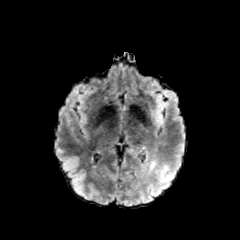
FLAIR MR image.
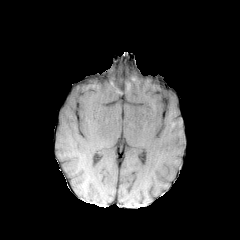
T1-weighted magnetic resonance of the same slice.
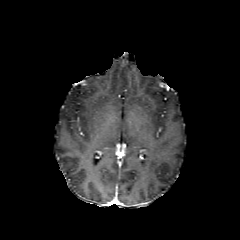
Post-contrast T1-weighted MR image.
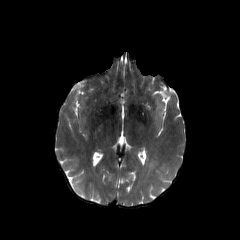
T2-weighted magnetic resonance.
240x240; Axial plane
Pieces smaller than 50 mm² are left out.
peritumoral edema at 154,89,176,126